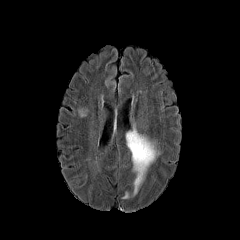
FLAIR MR.
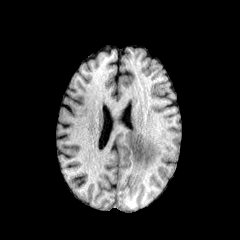
Same slice, T1-weighted MR.
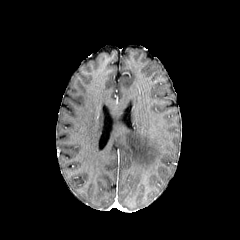
Same slice, post-contrast T1-weighted MRI.
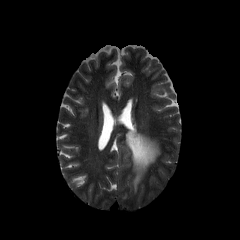
Same slice, T2-weighted magnetic resonance.
Head
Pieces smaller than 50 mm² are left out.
peritumoral edema: bbox(126, 129, 159, 196)